FLAIR magnetic resonance.
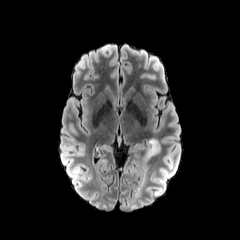
T1-weighted MRI.
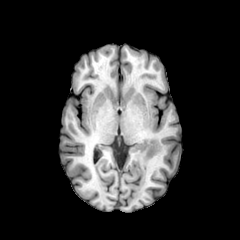
Post-contrast T1-weighted MRI.
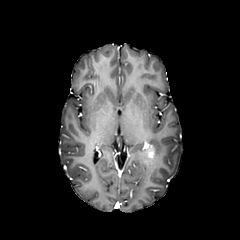
T2-weighted MR image.
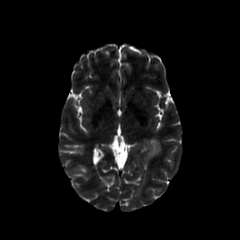
Head.
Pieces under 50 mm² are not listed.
The 2 largest peritumoral edema regions are bounded by 143, 152, 150, 165; 148, 138, 160, 154. The enhancing tumor is located at 146, 144, 154, 157.